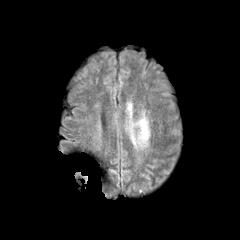
FLAIR MRI.
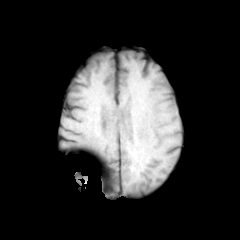
T1-weighted MR image of the same slice.
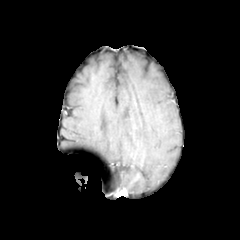
Post-contrast T1-weighted MR image of the same slice.
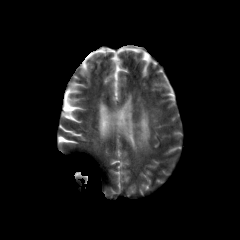
T2-weighted MR image.
Axial plane; 240x240 px
{"peritumoral_edema": ["<bbox>125, 112, 149, 146</bbox>"]}